Slice index 105 | Axial slice
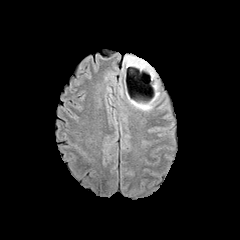
FLAIR MR.
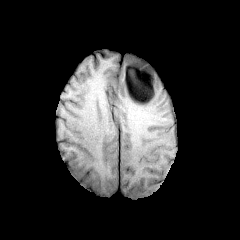
T1-weighted MRI of the same slice.
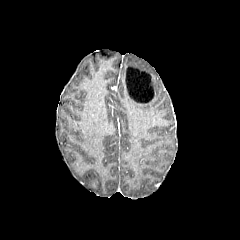
Post-contrast T1-weighted MRI.
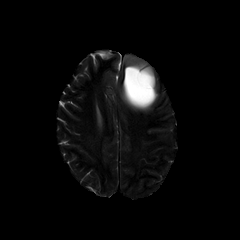
T2-weighted MRI.
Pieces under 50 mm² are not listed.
peritumoral edema = [x1=124, y1=55, x2=155, y2=75], [x1=154, y1=81, x2=159, y2=98], [x1=127, y1=99, x2=153, y2=110]
enhancing tumor = [x1=123, y1=73, x2=129, y2=98]
necrotic tumor core = [x1=125, y1=66, x2=154, y2=103]